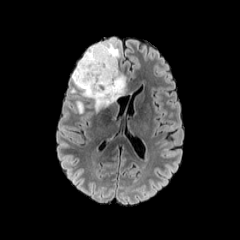
FLAIR magnetic resonance.
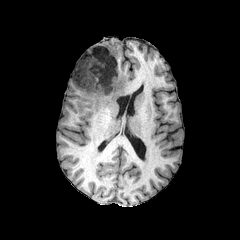
T1-weighted MR image.
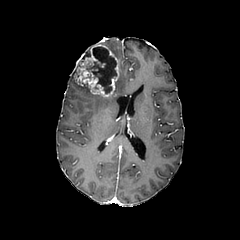
Post-contrast T1-weighted MR image of the same slice.
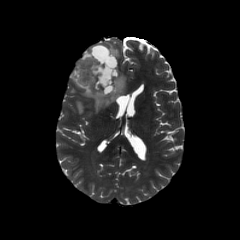
T2-weighted MR.
Image size 240x240
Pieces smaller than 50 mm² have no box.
<segmentation>
  <necrotic_tumor_core>86, 47, 116, 93</necrotic_tumor_core>
  <peritumoral_edema>100, 42, 119, 58; 82, 47, 90, 59; 72, 69, 126, 111; 76, 101, 84, 113</peritumoral_edema>
  <enhancing_tumor>75, 42, 118, 97</enhancing_tumor>
</segmentation>